Head. Axial plane. Slice 40 of 155.
FLAIR MR.
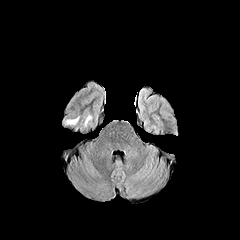
T1-weighted MR.
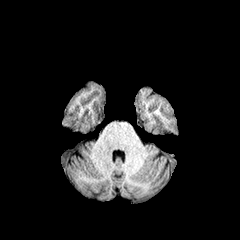
Post-contrast T1-weighted magnetic resonance.
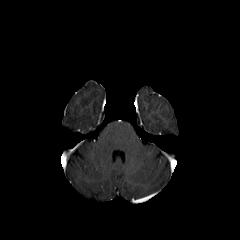
T2-weighted magnetic resonance.
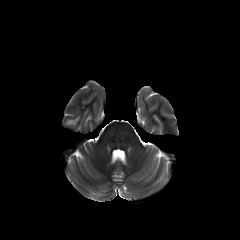
2 peritumoral edema regions appear at [84, 115, 91, 126], [65, 116, 79, 125].